FLAIR MRI.
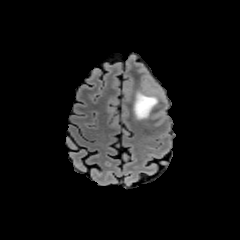
T1-weighted MR.
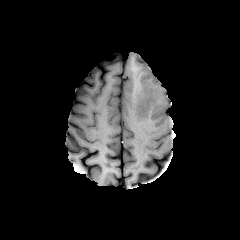
Post-contrast T1-weighted MR.
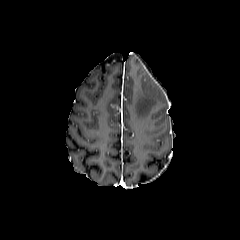
T2-weighted MRI.
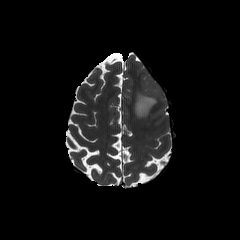
Axial slice, 240x240 px, Brain
The peritumoral edema appears at [134,91,157,118].